Axial plane | Brain
FLAIR MR.
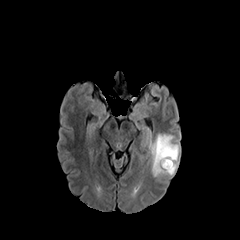
T1-weighted MR image.
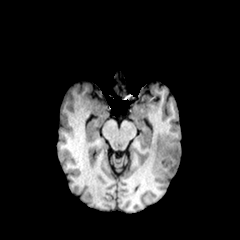
Post-contrast T1-weighted MR.
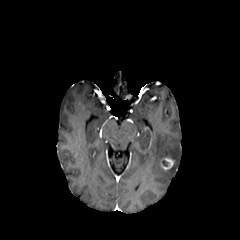
T2-weighted MRI.
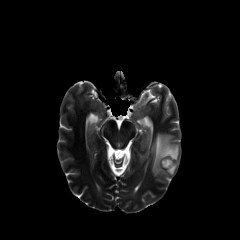
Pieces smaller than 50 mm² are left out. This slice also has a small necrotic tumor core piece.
{"peritumoral_edema": ["l=151, t=133, r=180, b=178"], "enhancing_tumor": ["l=160, t=156, r=174, b=169"]}